FLAIR MRI.
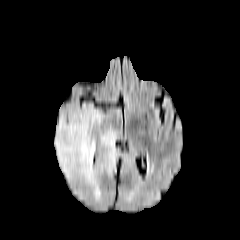
T1-weighted magnetic resonance.
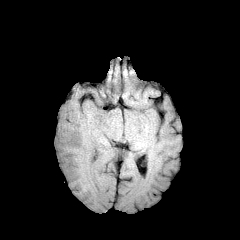
Post-contrast T1-weighted magnetic resonance.
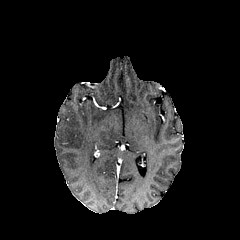
T2-weighted MRI.
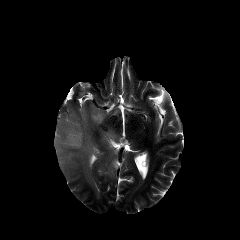
240x240 px | Brain
{"peritumoral_edema": [{"x1": 54, "y1": 104, "x2": 119, "y2": 200}]}